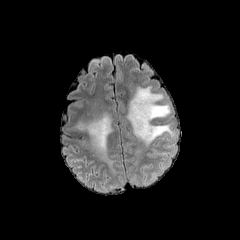
FLAIR MR.
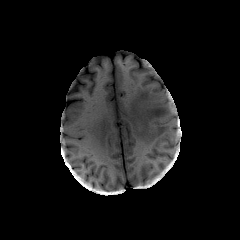
Same slice, T1-weighted magnetic resonance.
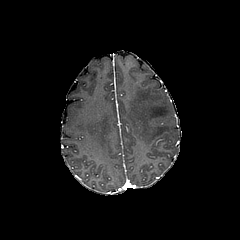
Same slice, post-contrast T1-weighted MRI.
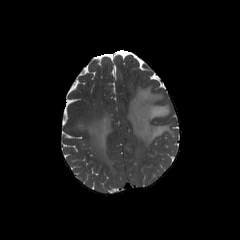
T2-weighted MR image.
Head; 240x240 px; Axial view
<segmentation>
  <peritumoral_edema><bbox>126, 86, 174, 146</bbox>, <bbox>76, 113, 112, 165</bbox></peritumoral_edema>
</segmentation>